Axial view; Head; 240x240; Slice 53/155
FLAIR MR.
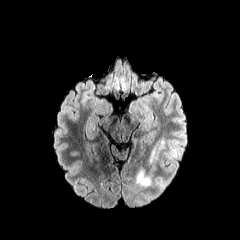
T1-weighted magnetic resonance.
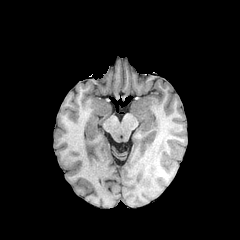
Post-contrast T1-weighted MRI.
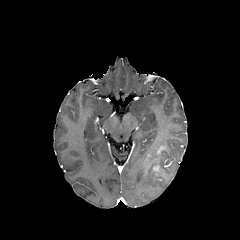
T2-weighted MRI.
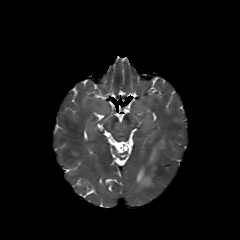
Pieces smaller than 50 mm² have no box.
Segmented structures:
- peritumoral edema: (150,138,164,161), (135,167,164,187)
- enhancing tumor: (150,164,162,171)